Brain
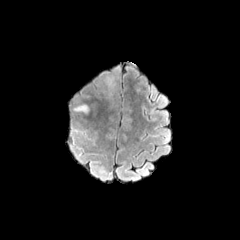
FLAIR MR.
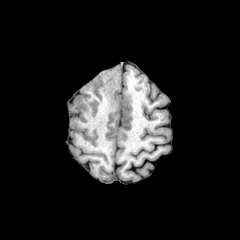
T1-weighted MR of the same slice.
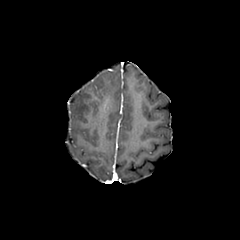
Post-contrast T1-weighted magnetic resonance.
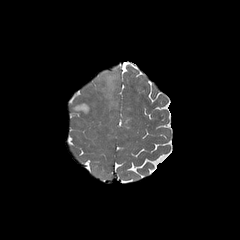
T2-weighted MR image.
peritumoral edema — x1=102 y1=68 x2=118 y2=98, x1=73 y1=104 x2=89 y2=113